FLAIR MRI.
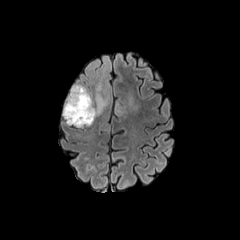
T1-weighted MR image.
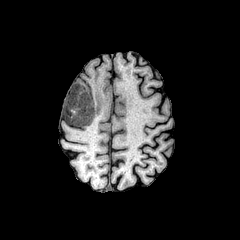
Post-contrast T1-weighted MRI.
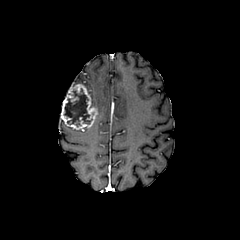
T2-weighted MR.
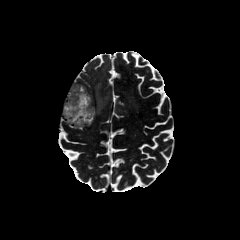
Axial view | Head
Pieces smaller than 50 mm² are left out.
The necrotic tumor core lies within [64,89,92,126]. The 3 largest peritumoral edema regions are bounded by [128,97,136,115], [95,59,107,115], [117,104,126,116]. The enhancing tumor is at [61,84,98,129].